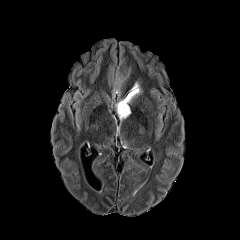
FLAIR magnetic resonance.
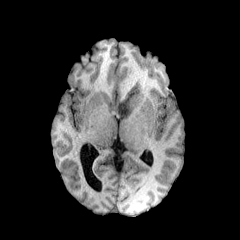
Same slice, T1-weighted MRI.
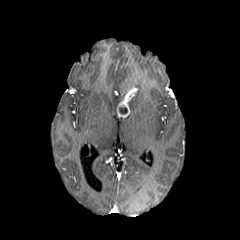
Post-contrast T1-weighted MRI of the same slice.
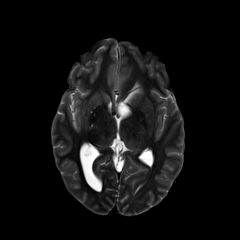
Same slice, T2-weighted magnetic resonance.
240x240. Brain.
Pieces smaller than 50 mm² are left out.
The largest peritumoral edema region is located at region(131, 82, 142, 100). The enhancing tumor is bounded by region(116, 88, 137, 118). The necrotic tumor core is at region(119, 107, 127, 113).